Axial plane. Brain.
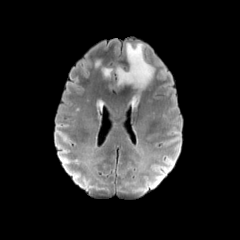
FLAIR magnetic resonance.
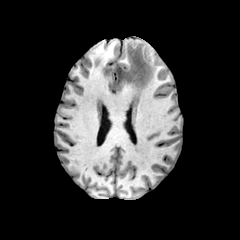
T1-weighted MRI.
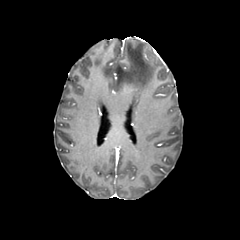
Post-contrast T1-weighted MR.
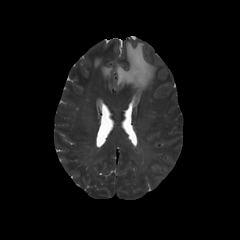
Same slice, T2-weighted magnetic resonance.
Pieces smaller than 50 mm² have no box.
peritumoral_edema:
  - [x1=116, y1=43, x2=154, y2=92]
  - [x1=133, y1=93, x2=139, y2=102]
  - [x1=102, y1=67, x2=112, y2=77]